FLAIR MRI.
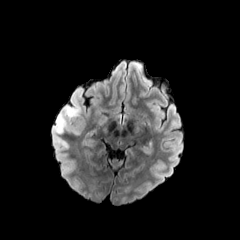
T1-weighted MR.
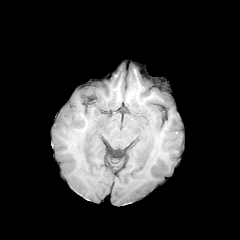
Post-contrast T1-weighted MR image.
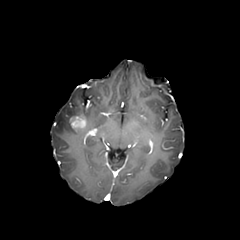
T2-weighted MRI.
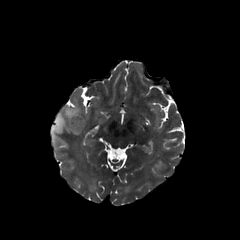
Brain
The peritumoral edema is bounded by 56,106,81,134. The enhancing tumor is located at 69,114,86,131.